Slice index 129, Axial view, Head
FLAIR MR.
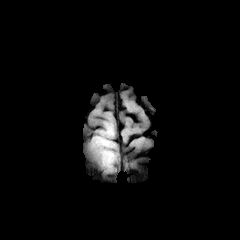
T1-weighted MR image.
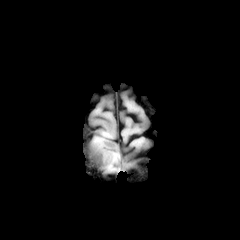
Post-contrast T1-weighted magnetic resonance.
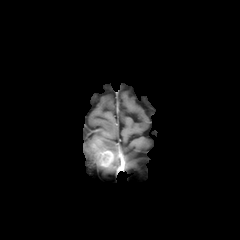
T2-weighted magnetic resonance.
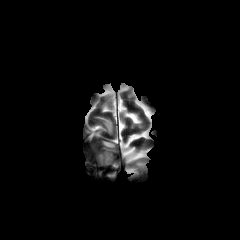
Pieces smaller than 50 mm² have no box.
The 2 largest peritumoral edema regions are bounded by bbox(99, 121, 114, 135); bbox(96, 136, 115, 149). The enhancing tumor is bounded by bbox(92, 144, 113, 166).